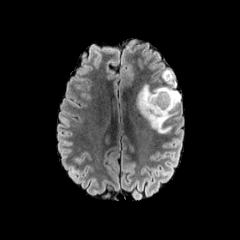
FLAIR MR image.
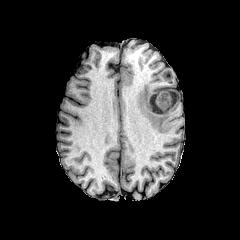
T1-weighted MRI.
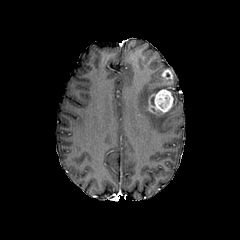
Same slice, post-contrast T1-weighted MR image.
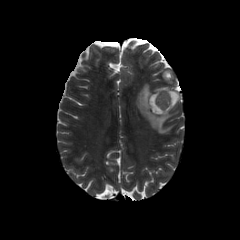
T2-weighted MRI.
Axial view | Brain
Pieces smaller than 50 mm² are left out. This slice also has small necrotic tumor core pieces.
<segmentation>
  <peritumoral_edema>left=135, top=70, right=180, bottom=133</peritumoral_edema>
  <enhancing_tumor>left=145, top=89, right=177, bottom=115; left=162, top=69, right=172, bottom=79</enhancing_tumor>
</segmentation>